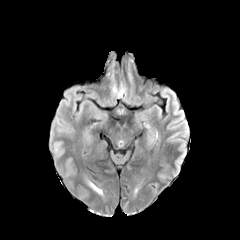
FLAIR MRI.
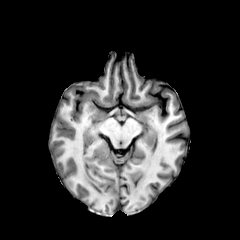
T1-weighted MRI.
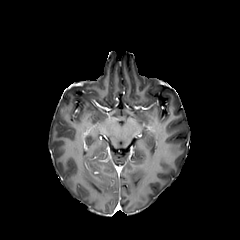
Post-contrast T1-weighted MRI.
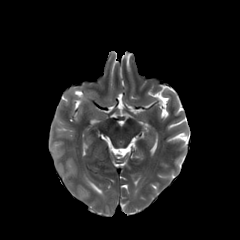
Same slice, T2-weighted magnetic resonance.
Head, 240x240
peritumoral edema: bounding box [86,179,102,194]